Axial plane
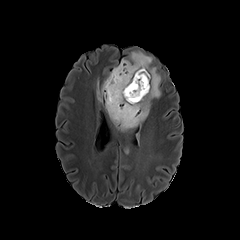
FLAIR MR.
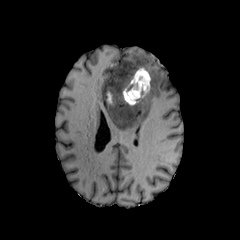
Same slice, T1-weighted MR.
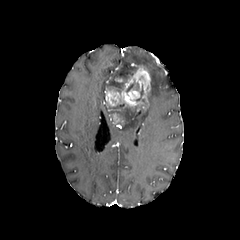
Post-contrast T1-weighted MR of the same slice.
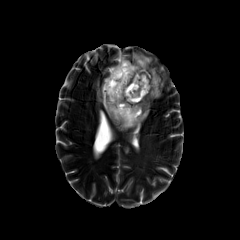
T2-weighted MR image.
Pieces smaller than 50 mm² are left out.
{
  "necrotic_tumor_core": [
    "box(110, 103, 137, 120)",
    "box(135, 84, 144, 102)",
    "box(126, 79, 139, 92)",
    "box(107, 63, 134, 93)"
  ],
  "peritumoral_edema": [
    "box(97, 77, 119, 127)",
    "box(117, 51, 161, 131)"
  ],
  "enhancing_tumor": [
    "box(112, 113, 124, 123)",
    "box(105, 64, 150, 111)"
  ]
}